Slice index 138
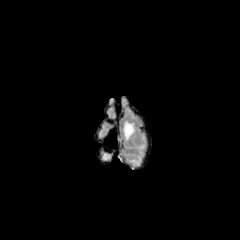
FLAIR MR image.
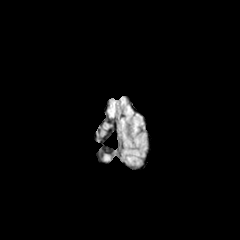
Same slice, T1-weighted magnetic resonance.
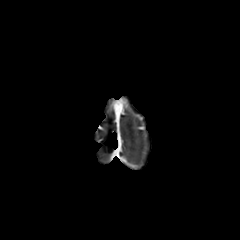
Same slice, post-contrast T1-weighted MRI.
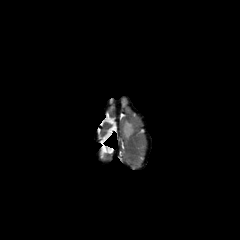
T2-weighted MR.
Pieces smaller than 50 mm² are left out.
Findings:
* peritumoral edema: (122,120,136,140)